240x240 px. Axial plane. Slice 50/155.
FLAIR MR.
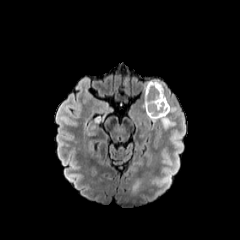
T1-weighted MR image.
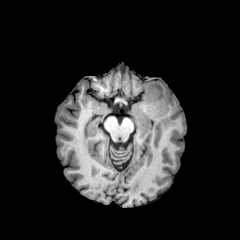
Post-contrast T1-weighted MRI.
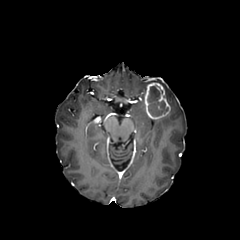
T2-weighted MRI.
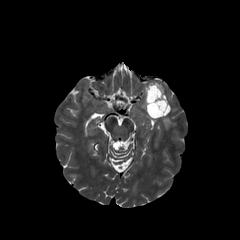
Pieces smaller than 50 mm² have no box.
The necrotic tumor core is located at region(148, 86, 168, 116). The 2 largest peritumoral edema regions are bounded by region(160, 116, 174, 127); region(143, 80, 163, 95). The largest enhancing tumor region appears at region(144, 82, 170, 119).